Slice 104 of 155. Brain.
FLAIR MRI.
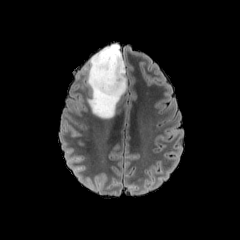
T1-weighted MR image.
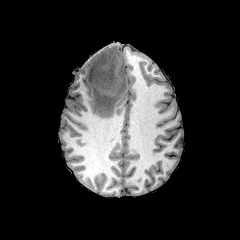
Post-contrast T1-weighted MR.
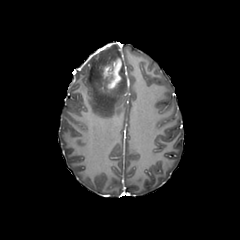
T2-weighted magnetic resonance.
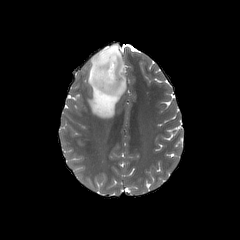
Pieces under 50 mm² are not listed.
enhancing_tumor:
  - 102,58,121,89
peritumoral_edema:
  - 87,43,127,118